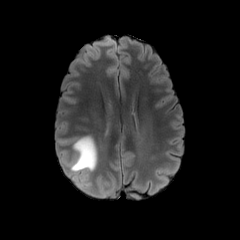
FLAIR MRI.
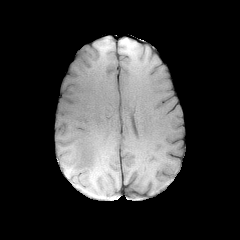
Same slice, T1-weighted MR image.
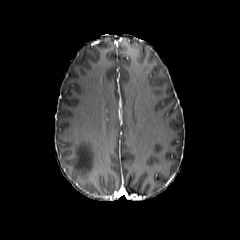
Same slice, post-contrast T1-weighted magnetic resonance.
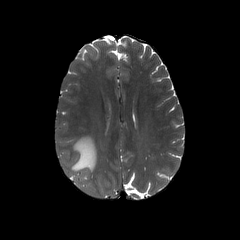
T2-weighted MR image of the same slice.
Axial slice, Brain
peritumoral edema: [69, 135, 97, 172]